Brain
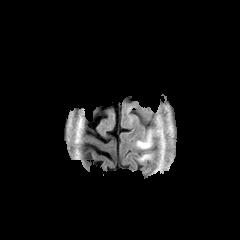
FLAIR MR.
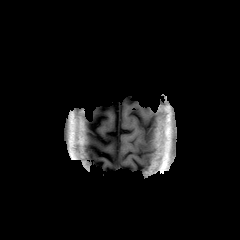
T1-weighted magnetic resonance.
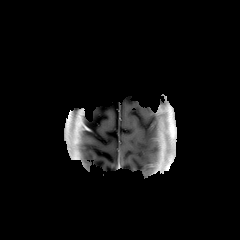
Post-contrast T1-weighted MR image.
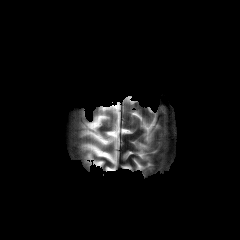
Same slice, T2-weighted MR.
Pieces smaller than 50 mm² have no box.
peritumoral edema: [x1=137, y1=130, x2=152, y2=148]